FLAIR MR.
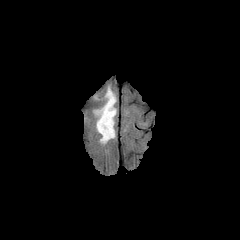
T1-weighted MR image.
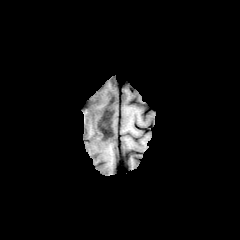
Post-contrast T1-weighted magnetic resonance.
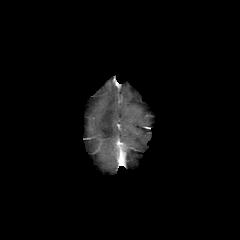
T2-weighted MRI.
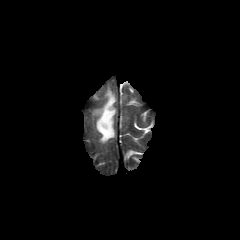
Axial view
peritumoral_edema:
  - region(93, 87, 116, 143)